Image size 240x240 | Slice 83/155 | Axial view | Head
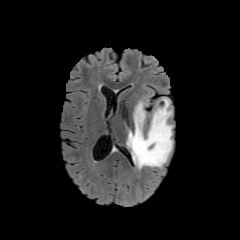
FLAIR magnetic resonance.
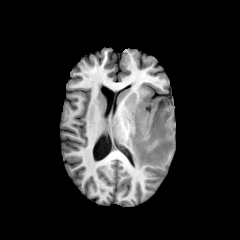
T1-weighted MR.
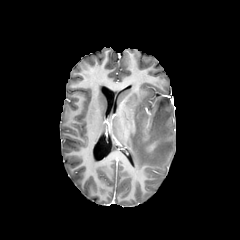
Same slice, post-contrast T1-weighted MRI.
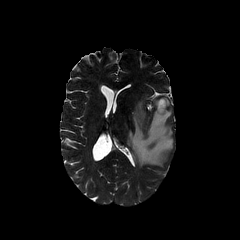
T2-weighted MR of the same slice.
peritumoral edema: 126, 98, 173, 168